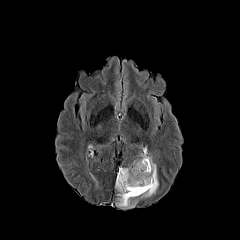
FLAIR magnetic resonance.
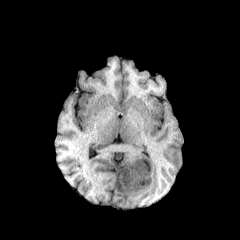
T1-weighted MR.
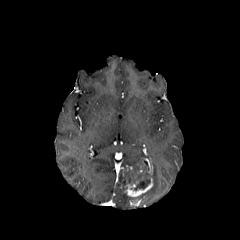
Same slice, post-contrast T1-weighted magnetic resonance.
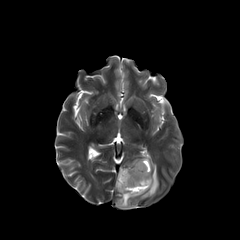
Same slice, T2-weighted magnetic resonance.
Head. Axial view.
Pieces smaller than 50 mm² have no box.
• necrotic tumor core: 134, 179, 150, 190
• peritumoral edema: 115, 153, 158, 208
• enhancing tumor: 136, 158, 152, 175; 124, 177, 153, 197